FLAIR magnetic resonance.
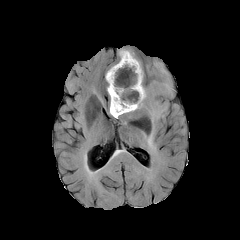
T1-weighted magnetic resonance.
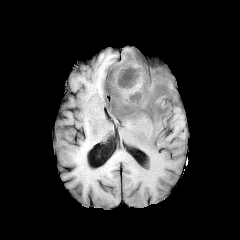
Post-contrast T1-weighted MR.
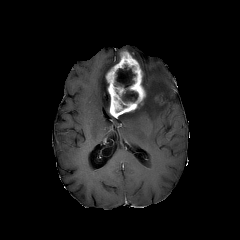
T2-weighted MR.
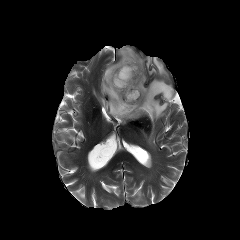
Axial slice; Image size 240x240; Head
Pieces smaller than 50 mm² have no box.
enhancing tumor: bbox=[105, 50, 145, 118]
peritumoral edema: bbox=[118, 60, 173, 151]; bbox=[118, 48, 143, 72]
necrotic tumor core: bbox=[116, 65, 135, 88]; bbox=[121, 90, 137, 101]